Head | Axial plane
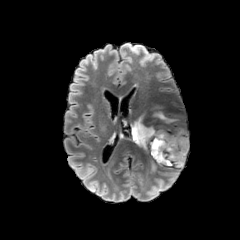
FLAIR MR.
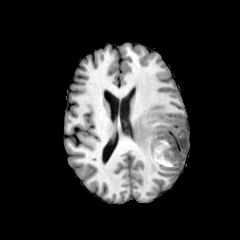
T1-weighted MRI.
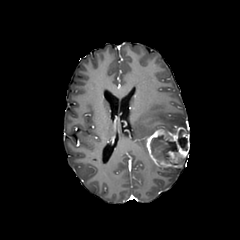
Post-contrast T1-weighted MRI of the same slice.
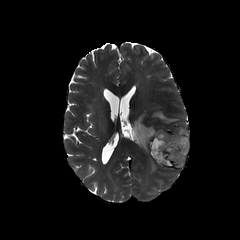
Same slice, T2-weighted MR.
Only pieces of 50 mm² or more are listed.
enhancing tumor: <box>146,125,189,167</box> | necrotic tumor core: <box>177,130,187,150</box>, <box>150,135,181,165</box> | peritumoral edema: <box>151,111,180,123</box>, <box>129,113,155,153</box>